FLAIR MR.
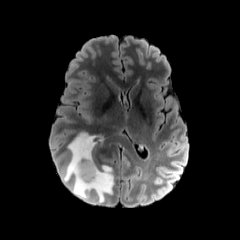
T1-weighted MRI.
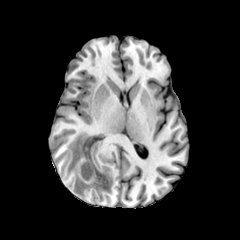
Post-contrast T1-weighted MR image.
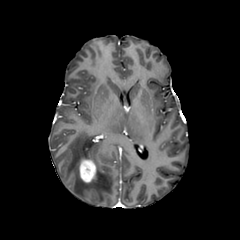
T2-weighted MR image.
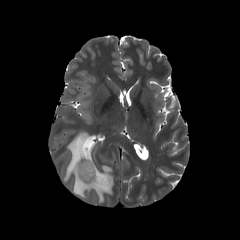
Axial view | 240x240 px | Brain
enhancing_tumor:
  - (x1=79, y1=153, x2=97, y2=182)
peritumoral_edema:
  - (x1=63, y1=132, x2=114, y2=202)